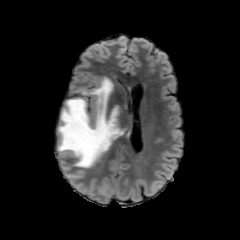
FLAIR MR.
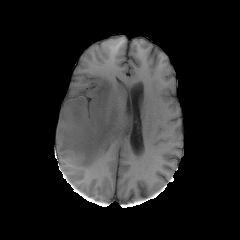
T1-weighted magnetic resonance of the same slice.
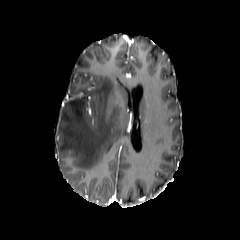
Post-contrast T1-weighted MR image of the same slice.
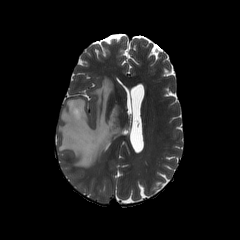
T2-weighted magnetic resonance.
Brain; Axial slice
<segmentation>
  <peritumoral_edema>l=58, t=77, r=123, b=168</peritumoral_edema>
</segmentation>